FLAIR MR image.
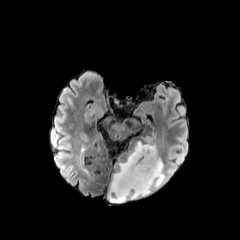
T1-weighted MR image.
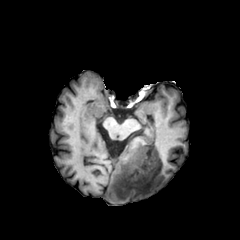
Post-contrast T1-weighted magnetic resonance.
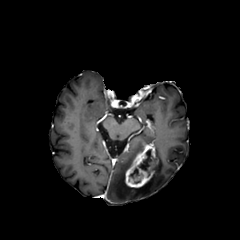
T2-weighted MR image.
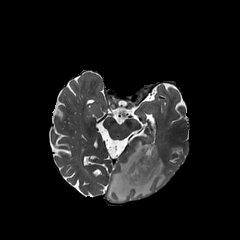
240x240 px; Head
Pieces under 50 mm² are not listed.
{"peritumoral_edema": ["[x1=108, y1=136, x2=165, y2=203]"], "necrotic_tumor_core": ["[x1=138, y1=149, x2=152, y2=169]"], "enhancing_tumor": ["[x1=125, y1=142, x2=157, y2=188]"]}